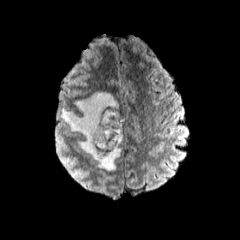
FLAIR magnetic resonance.
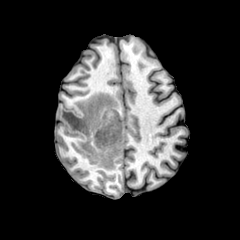
T1-weighted MR of the same slice.
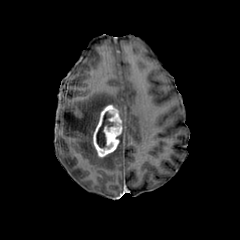
Post-contrast T1-weighted MRI of the same slice.
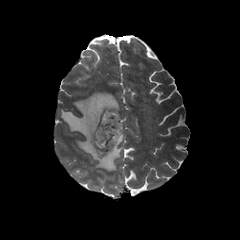
Same slice, T2-weighted magnetic resonance.
Image size 240x240. Head.
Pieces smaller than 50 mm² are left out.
The enhancing tumor is at x1=92 y1=104 x2=122 y2=157. The largest necrotic tumor core region is bounded by x1=96 y1=110 x2=116 y2=147. The largest peritumoral edema region lies within x1=61 y1=92 x2=123 y2=171.